FLAIR MRI.
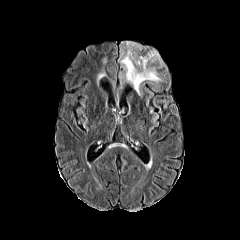
T1-weighted MRI.
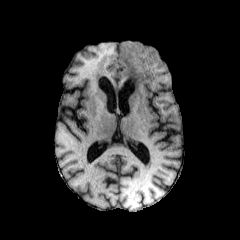
Post-contrast T1-weighted MR image.
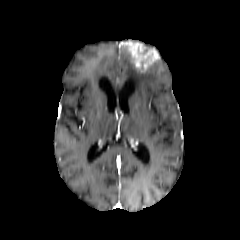
T2-weighted MR.
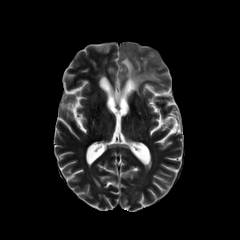
Axial slice
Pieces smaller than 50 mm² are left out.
The largest peritumoral edema region is bounded by 120 47 161 95. The enhancing tumor lies within 119 41 160 71.